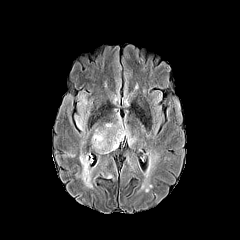
FLAIR MR image.
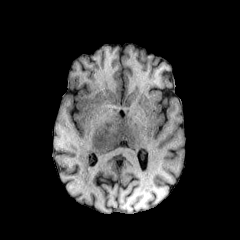
T1-weighted MRI of the same slice.
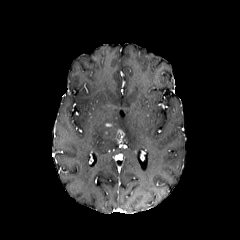
Same slice, post-contrast T1-weighted MR.
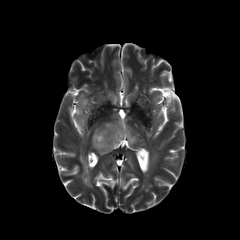
T2-weighted MR.
Axial plane
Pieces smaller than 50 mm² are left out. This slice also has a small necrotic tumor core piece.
enhancing tumor: (116,129,124,142) | peritumoral edema: (91,111,136,154), (76,115,87,129), (79,153,92,187)